Image width 240 mm, 1.00 mm slice spacing; Head
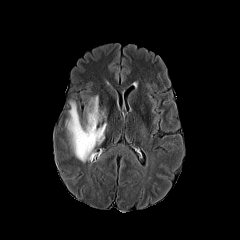
FLAIR MR.
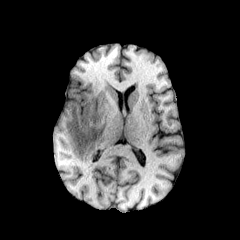
T1-weighted MRI.
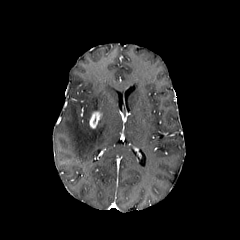
Same slice, post-contrast T1-weighted MRI.
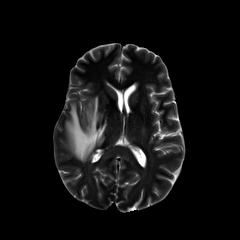
T2-weighted MRI of the same slice.
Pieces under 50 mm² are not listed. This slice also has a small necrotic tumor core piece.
peritumoral edema = <bbox>65, 95, 106, 162</bbox>
enhancing tumor = <bbox>89, 111, 102, 128</bbox>